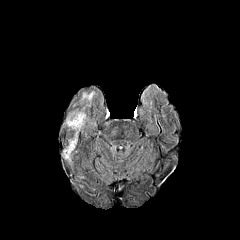
FLAIR MRI.
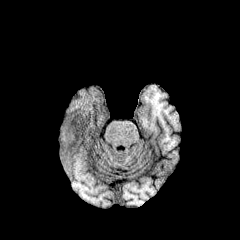
Same slice, T1-weighted magnetic resonance.
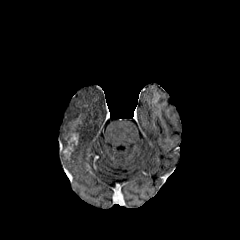
Post-contrast T1-weighted MRI.
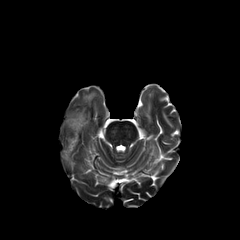
T2-weighted MRI.
Brain
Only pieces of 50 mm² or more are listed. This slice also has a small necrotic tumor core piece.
Segmented structures:
• peritumoral edema: bbox=[82, 93, 93, 102]; bbox=[66, 107, 85, 133]
• enhancing tumor: bbox=[63, 132, 77, 159]; bbox=[71, 116, 81, 129]